Brain
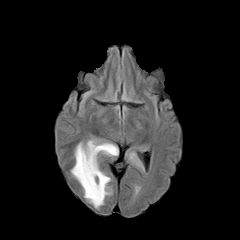
FLAIR MR.
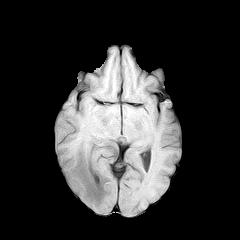
T1-weighted MR image.
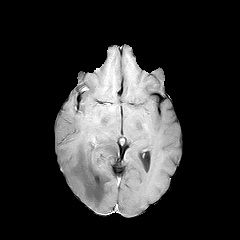
Post-contrast T1-weighted MRI.
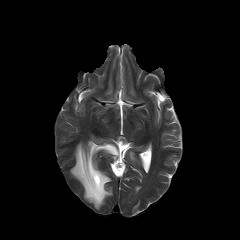
Same slice, T2-weighted MRI.
peritumoral edema at <box>129,152,140,165</box>, <box>71,140,118,208</box>